Axial slice; Image size 240x240
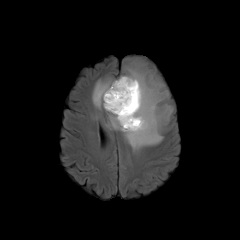
FLAIR MRI.
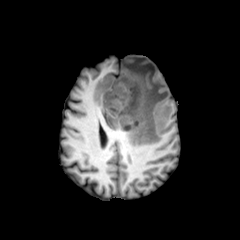
Same slice, T1-weighted MR image.
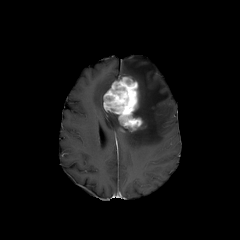
Post-contrast T1-weighted MR of the same slice.
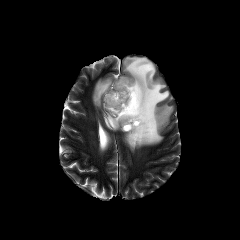
T2-weighted MRI.
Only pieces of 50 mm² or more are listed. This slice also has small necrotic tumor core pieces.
enhancing tumor = (103,76,142,131)
peritumoral edema = (92,78,114,109), (119,58,173,150), (106,111,122,130)